FLAIR MR image.
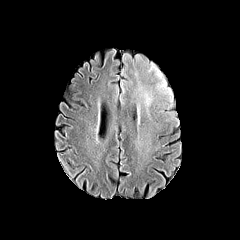
T1-weighted MRI.
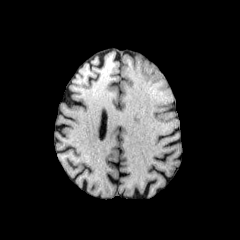
Post-contrast T1-weighted MR.
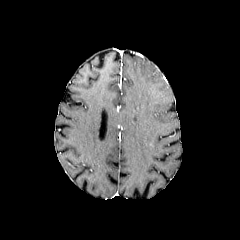
T2-weighted MR.
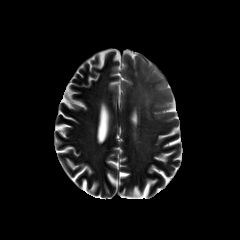
peritumoral edema: bounding box <bbox>149, 64, 172, 103</bbox>, <bbox>144, 90, 151, 104</bbox>